FLAIR MRI.
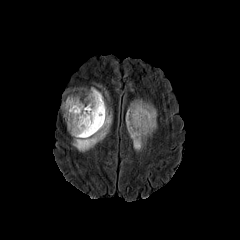
T1-weighted magnetic resonance.
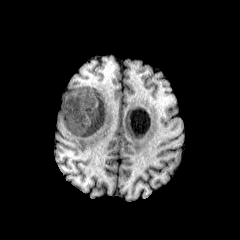
Post-contrast T1-weighted MRI.
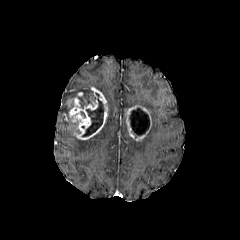
T2-weighted MRI.
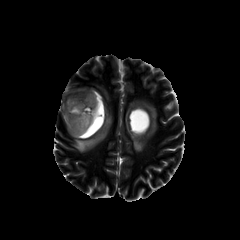
Brain. Axial slice.
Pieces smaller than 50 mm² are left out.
Findings:
* enhancing tumor: l=125, t=105, r=151, b=141; l=65, t=87, r=108, b=139
* peritumoral edema: l=68, t=111, r=112, b=152; l=129, t=99, r=157, b=151; l=97, t=85, r=108, b=98
* necrotic tumor core: l=129, t=108, r=149, b=135; l=78, t=96, r=86, b=108; l=82, t=93, r=103, b=136